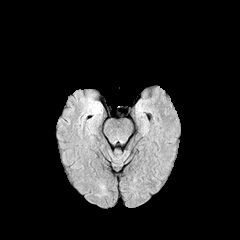
FLAIR MR.
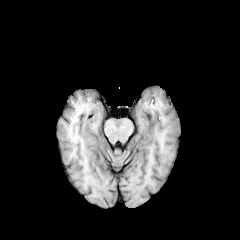
Same slice, T1-weighted MR image.
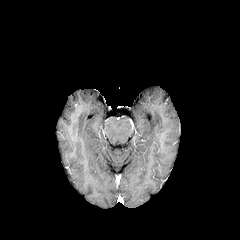
Post-contrast T1-weighted MR of the same slice.
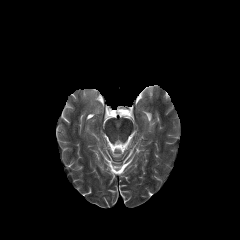
T2-weighted MR.
Axial plane.
peritumoral_edema:
  - 90:102:101:112